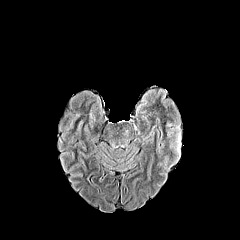
FLAIR MRI.
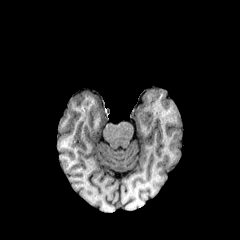
T1-weighted MRI.
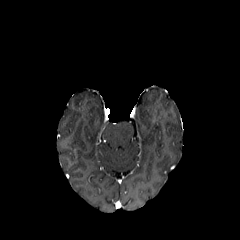
Post-contrast T1-weighted MRI.
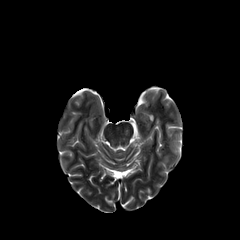
Same slice, T2-weighted MR image.
Brain. 240x240 px.
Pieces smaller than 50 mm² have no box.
The largest peritumoral edema region is bounded by 175:131:181:152.